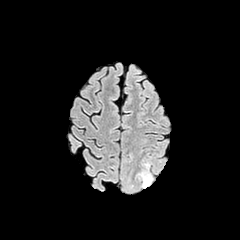
FLAIR MR image.
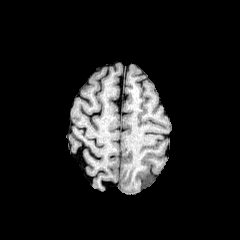
T1-weighted MR.
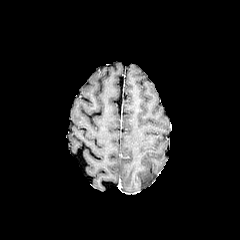
Post-contrast T1-weighted MRI.
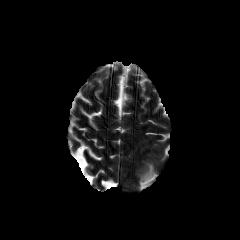
T2-weighted MR image of the same slice.
Brain
The peritumoral edema is bounded by region(141, 165, 153, 188).